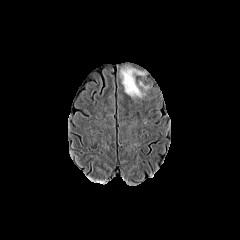
FLAIR MR image.
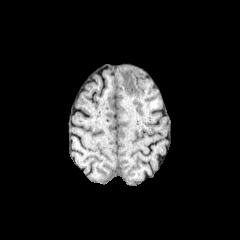
T1-weighted magnetic resonance.
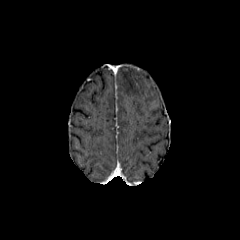
Same slice, post-contrast T1-weighted MR image.
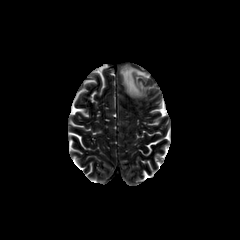
T2-weighted MR.
240x240, Axial view, Brain
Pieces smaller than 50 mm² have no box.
peritumoral edema: bounding box 120, 67, 144, 97